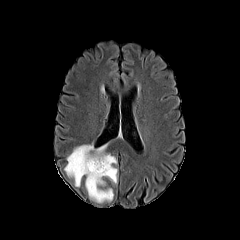
FLAIR MRI.
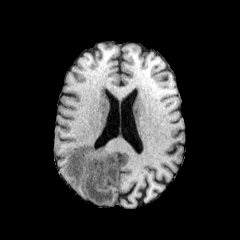
T1-weighted MR image of the same slice.
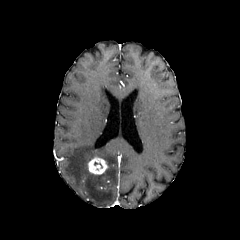
Post-contrast T1-weighted MR.
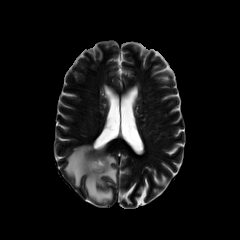
Same slice, T2-weighted magnetic resonance.
Axial plane. Head.
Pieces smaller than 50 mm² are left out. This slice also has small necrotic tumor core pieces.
enhancing tumor = l=88, t=157, r=107, b=174
peritumoral edema = l=64, t=142, r=118, b=203